FLAIR MR image.
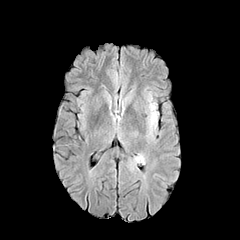
T1-weighted MRI.
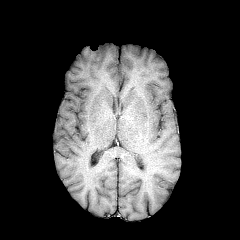
Post-contrast T1-weighted MRI.
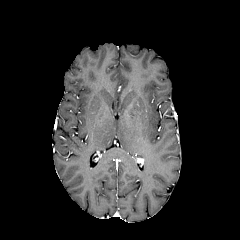
T2-weighted magnetic resonance.
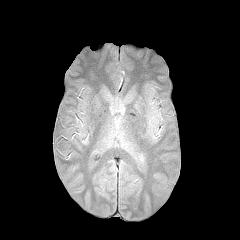
Brain
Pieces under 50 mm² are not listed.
peritumoral edema — <box>150,104,156,124</box>